Image width 240 mm, 1.00 mm slice spacing; Head; Axial plane
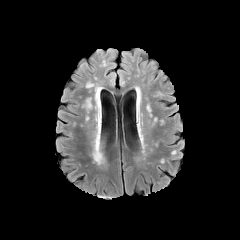
FLAIR magnetic resonance.
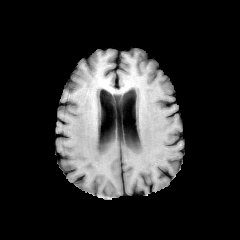
Same slice, T1-weighted MR image.
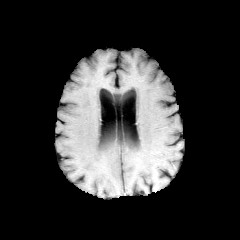
Post-contrast T1-weighted magnetic resonance.
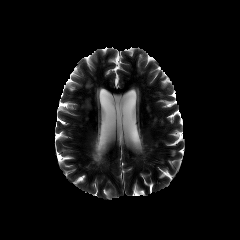
T2-weighted MRI of the same slice.
Annotated regions:
- peritumoral edema: <bbox>92, 124, 103, 163</bbox>